FLAIR MRI.
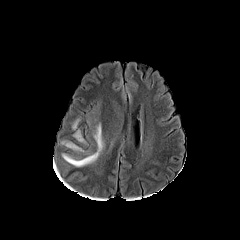
T1-weighted MR.
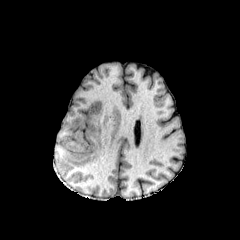
Post-contrast T1-weighted MR image.
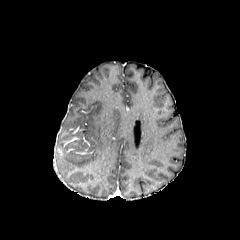
T2-weighted MR image.
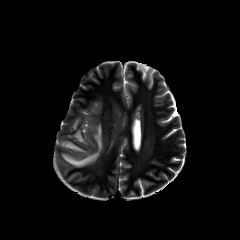
Brain. Image size 240x240.
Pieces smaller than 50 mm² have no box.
<segmentation>
  <peritumoral_edema>61 141 82 150, 72 131 86 144, 62 124 103 166</peritumoral_edema>
</segmentation>